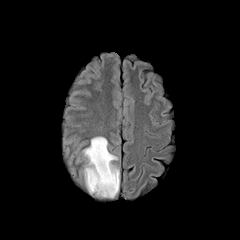
FLAIR MRI.
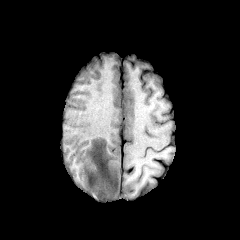
T1-weighted MRI.
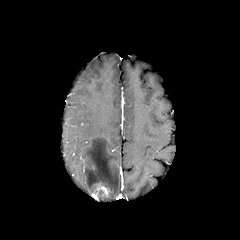
Post-contrast T1-weighted MR image of the same slice.
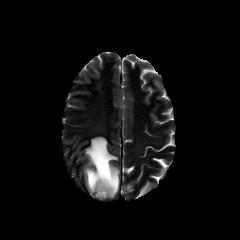
Same slice, T2-weighted magnetic resonance.
Image size 240x240, Axial slice, Brain
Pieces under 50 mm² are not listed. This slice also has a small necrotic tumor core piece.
peritumoral_edema:
  - [x1=83, y1=136, x2=119, y2=198]
enhancing_tumor:
  - [x1=89, y1=182, x2=112, y2=199]